Head, Slice 81/155, Axial plane, Image size 240x240
FLAIR MRI.
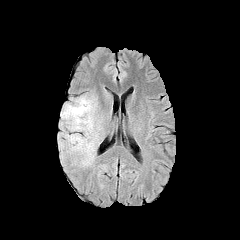
T1-weighted magnetic resonance.
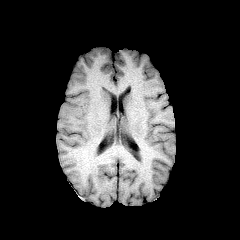
Post-contrast T1-weighted magnetic resonance.
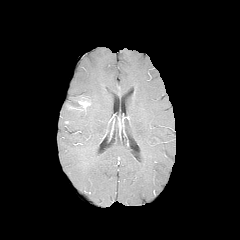
T2-weighted MR image.
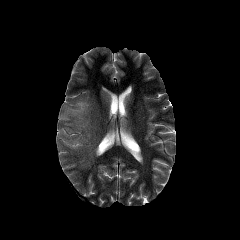
The peritumoral edema appears at rect(61, 95, 96, 166).